FLAIR MR.
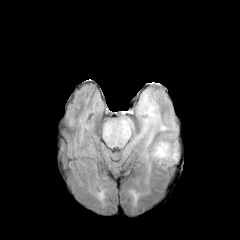
T1-weighted MR.
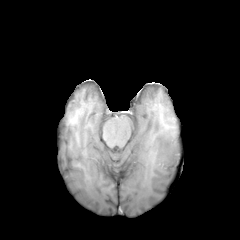
Post-contrast T1-weighted MR.
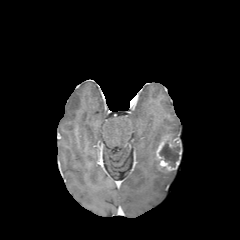
T2-weighted MR image.
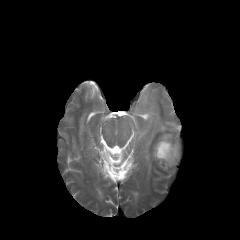
Axial plane. Head.
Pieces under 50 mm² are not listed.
enhancing tumor: 156, 135, 181, 170
peritumoral edema: 136, 96, 177, 159
necrotic tumor core: 159, 143, 179, 167